FLAIR magnetic resonance.
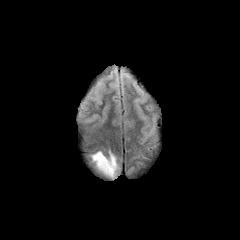
T1-weighted MR.
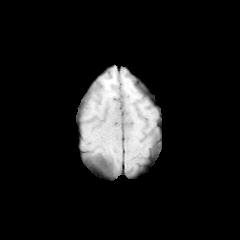
Post-contrast T1-weighted magnetic resonance.
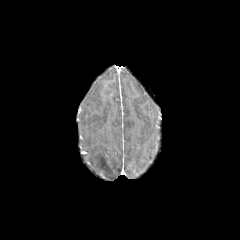
T2-weighted MR.
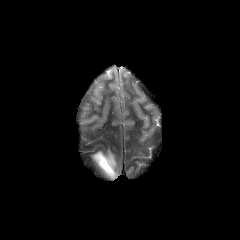
Brain
peritumoral edema: 91:150:119:179